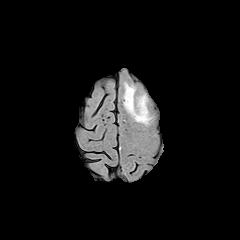
FLAIR magnetic resonance.
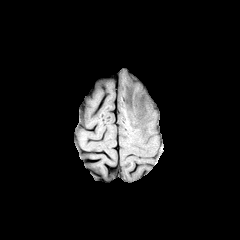
Same slice, T1-weighted MR.
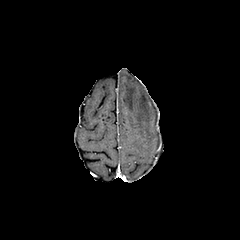
Post-contrast T1-weighted MR of the same slice.
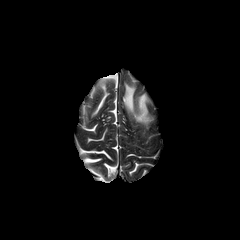
T2-weighted MRI.
Image size 240x240
peritumoral_edema:
  - 123:83:151:124